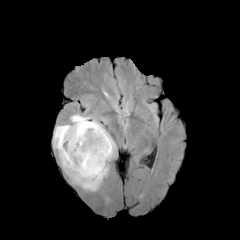
FLAIR MR.
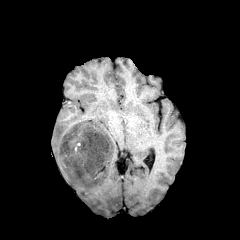
T1-weighted MR.
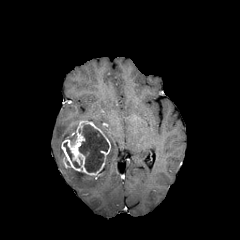
Post-contrast T1-weighted MR.
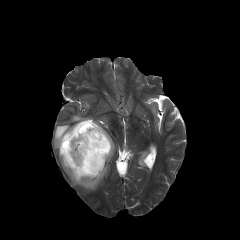
T2-weighted magnetic resonance.
Head
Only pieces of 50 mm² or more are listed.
necrotic tumor core at {"x1": 79, "y1": 124, "x2": 108, "y2": 172}, {"x1": 63, "y1": 142, "x2": 72, "y2": 160}
peritumoral edema at {"x1": 53, "y1": 114, "x2": 115, "y2": 191}
enhancing tumor at {"x1": 61, "y1": 120, "x2": 110, "y2": 179}